Axial view | Head
FLAIR MRI.
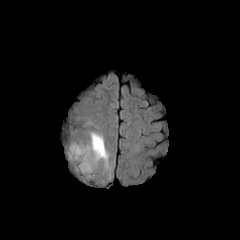
T1-weighted MR image.
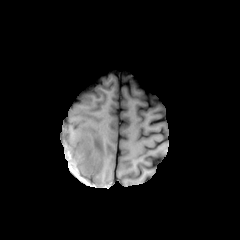
Post-contrast T1-weighted MR.
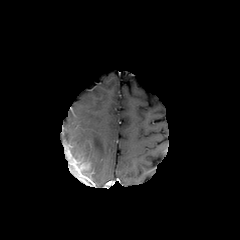
T2-weighted MRI.
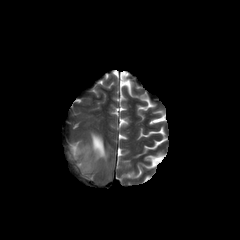
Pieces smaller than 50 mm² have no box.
Segmented structures:
* enhancing tumor: [x1=67, y1=145, x2=93, y2=180]
* peritumoral edema: [x1=69, y1=131, x2=109, y2=172]